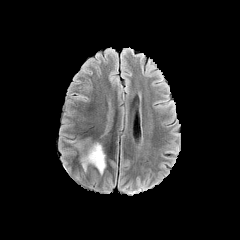
FLAIR MRI.
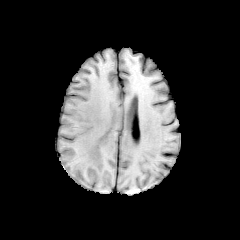
T1-weighted magnetic resonance.
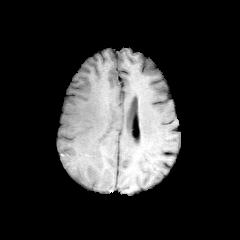
Post-contrast T1-weighted MRI.
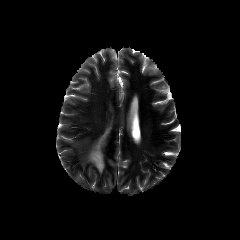
T2-weighted MR of the same slice.
Brain, 240x240 px
peritumoral_edema:
  - 74,137,106,175